Axial view | Slice index 116 | Brain | 240x240 px
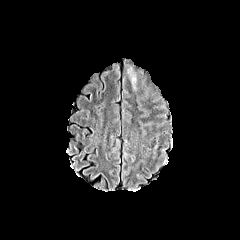
FLAIR MR.
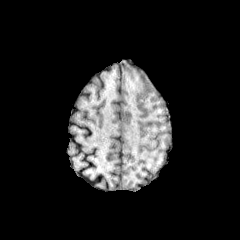
T1-weighted MRI.
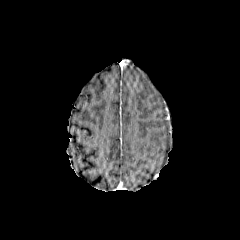
Post-contrast T1-weighted MR.
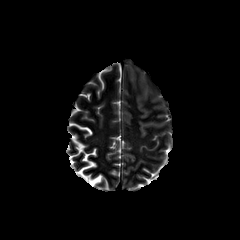
T2-weighted MR image.
peritumoral edema: box(127, 66, 136, 91)